FLAIR MR.
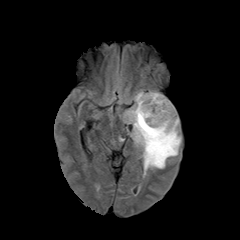
T1-weighted magnetic resonance.
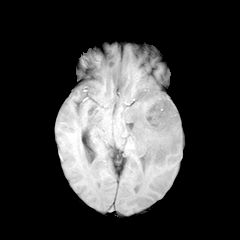
Post-contrast T1-weighted MR.
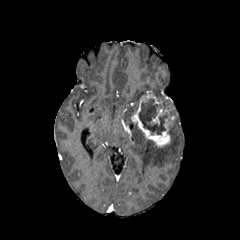
T2-weighted magnetic resonance.
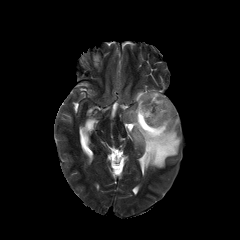
240x240 px | Head
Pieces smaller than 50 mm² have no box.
The largest necrotic tumor core region lies within [139,99,168,134]. The enhancing tumor is at [131,92,176,147]. 2 peritumoral edema regions are bounded by [149,90,168,100], [123,90,181,174].